Head, 240x240 px
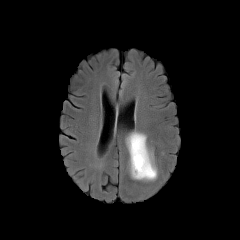
FLAIR MR image.
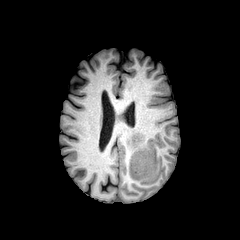
Same slice, T1-weighted MR image.
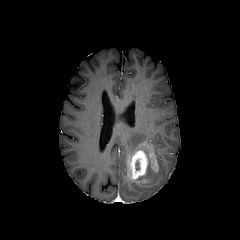
Post-contrast T1-weighted MR image of the same slice.
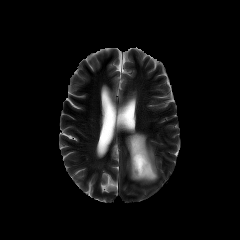
T2-weighted MR image.
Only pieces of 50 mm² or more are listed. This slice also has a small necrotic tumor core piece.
<segmentation>
  <peritumoral_edema>x1=126, y1=131, x2=146, y2=158; x1=137, y1=163, x2=157, y2=181</peritumoral_edema>
  <enhancing_tumor>x1=128, y1=142, x2=157, y2=179</enhancing_tumor>
</segmentation>